FLAIR MRI.
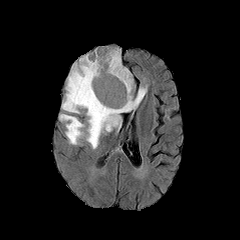
T1-weighted MR image.
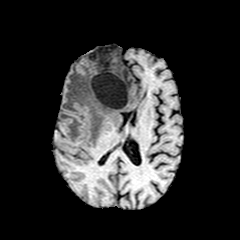
Post-contrast T1-weighted magnetic resonance.
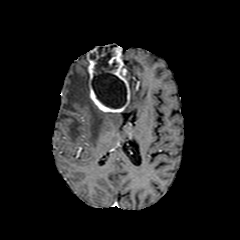
T2-weighted magnetic resonance.
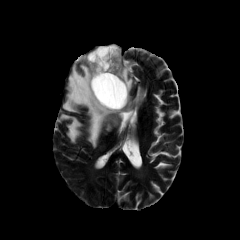
Axial view.
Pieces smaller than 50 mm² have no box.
necrotic tumor core: <box>91,46,126,108</box> | enhancing tumor: <box>87,46,130,112</box> | peritumoral edema: <box>123,87,146,111</box>, <box>126,68,133,90</box>, <box>59,55,121,148</box>